FLAIR MR image.
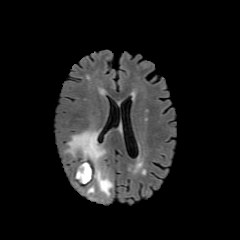
T1-weighted magnetic resonance.
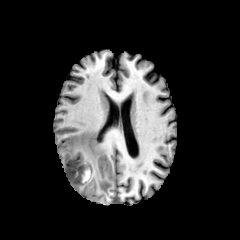
Post-contrast T1-weighted MR.
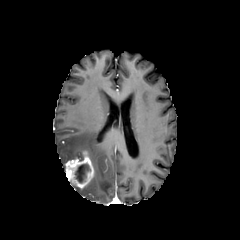
T2-weighted MR.
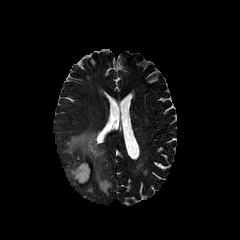
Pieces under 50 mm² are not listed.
Findings:
- enhancing tumor: <box>65,150,94,189</box>
- necrotic tumor core: <box>75,164,90,183</box>
- peritumoral edema: <box>64,130,112,196</box>